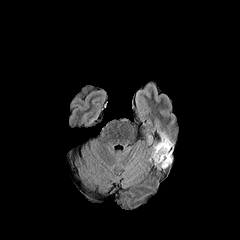
FLAIR magnetic resonance.
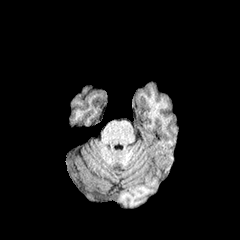
T1-weighted MRI.
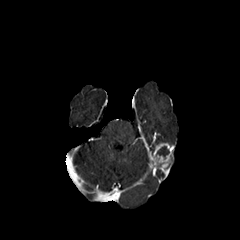
Post-contrast T1-weighted MR.
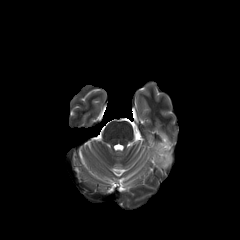
T2-weighted magnetic resonance.
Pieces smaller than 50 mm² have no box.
enhancing_tumor:
  - 150:142:172:169
necrotic_tumor_core:
  - 157:146:169:158
peritumoral_edema:
  - 159:131:172:145